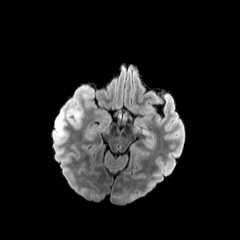
FLAIR MRI.
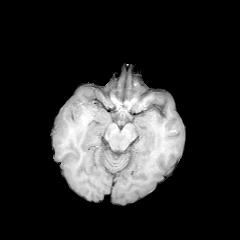
T1-weighted MR image.
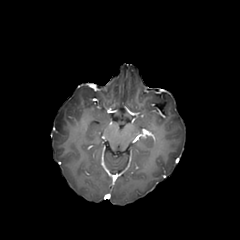
Post-contrast T1-weighted MR image of the same slice.
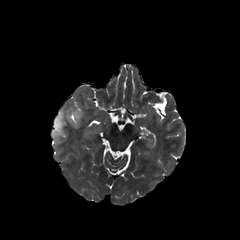
T2-weighted MR image.
Segmented structures:
* peritumoral edema: [66, 109, 82, 126], [55, 111, 65, 134]
* enhancing tumor: [74, 119, 82, 129]